Image covers 240 mm x 240 mm, 240x240
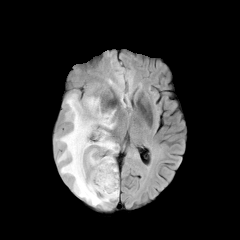
FLAIR magnetic resonance.
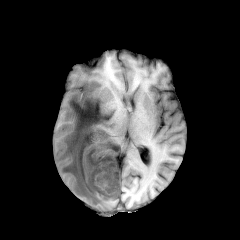
T1-weighted MR image of the same slice.
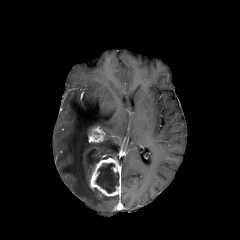
Post-contrast T1-weighted MR image of the same slice.
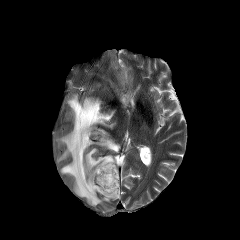
T2-weighted MR image.
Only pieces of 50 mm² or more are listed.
peritumoral edema: {"x1": 56, "y1": 93, "x2": 119, "y2": 208} | enhancing tumor: {"x1": 88, "y1": 126, "x2": 105, "y2": 142}, {"x1": 89, "y1": 157, "x2": 120, "y2": 196} | necrotic tumor core: {"x1": 96, "y1": 163, "x2": 118, "y2": 193}